FLAIR MRI.
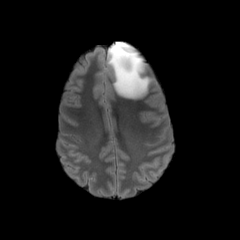
T1-weighted MRI.
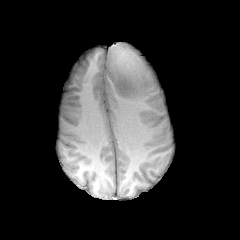
Post-contrast T1-weighted MR image.
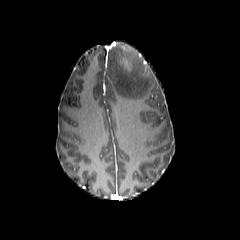
T2-weighted MR.
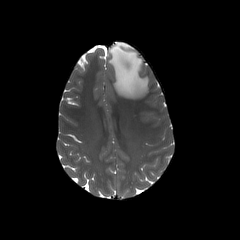
Axial plane, Image size 240x240, Brain
The peritumoral edema is at rect(107, 42, 151, 99).